Slice 61/155, Head
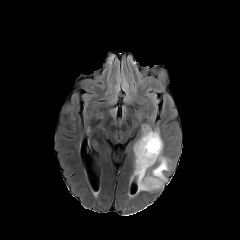
FLAIR MRI.
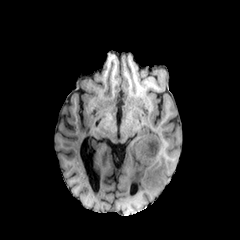
T1-weighted MR image.
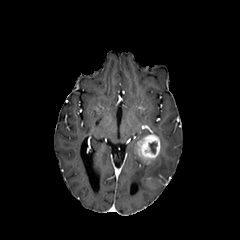
Post-contrast T1-weighted MRI.
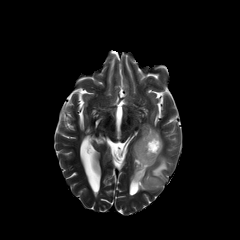
T2-weighted magnetic resonance.
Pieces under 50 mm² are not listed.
necrotic_tumor_core:
  - box=[148, 141, 157, 153]
enhancing_tumor:
  - box=[146, 177, 163, 188]
  - box=[135, 134, 160, 164]
peritumoral_edema:
  - box=[133, 130, 168, 190]